Axial view, Image width 240 mm, 1.00 mm slice spacing
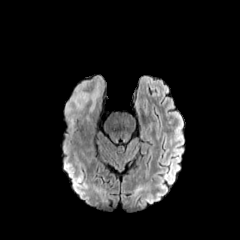
FLAIR magnetic resonance.
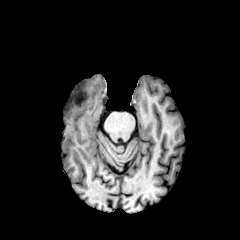
T1-weighted MR image.
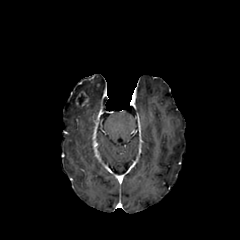
Post-contrast T1-weighted magnetic resonance of the same slice.
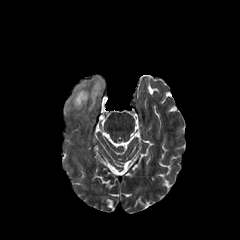
T2-weighted MR.
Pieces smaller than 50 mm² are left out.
peritumoral edema: bbox=[65, 76, 104, 116] | necrotic tumor core: bbox=[78, 94, 85, 104] | enhancing tumor: bbox=[75, 90, 89, 107]